Slice 136/155, Head, 240x240, Axial slice
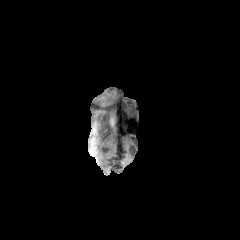
FLAIR MR.
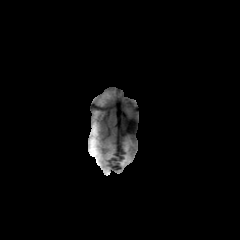
Same slice, T1-weighted magnetic resonance.
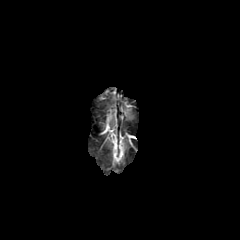
Same slice, post-contrast T1-weighted magnetic resonance.
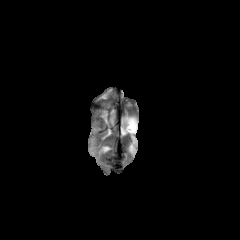
Same slice, T2-weighted magnetic resonance.
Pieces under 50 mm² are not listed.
peritumoral edema: <bbox>93, 120, 100, 130</bbox>, <bbox>109, 111, 114, 130</bbox>, <bbox>99, 93, 111, 106</bbox>